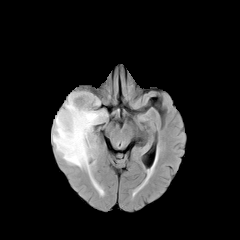
FLAIR MRI.
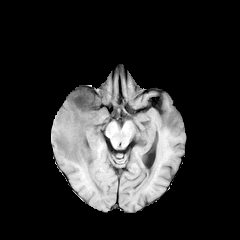
T1-weighted MR.
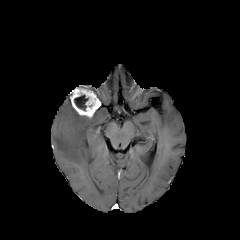
Post-contrast T1-weighted magnetic resonance of the same slice.
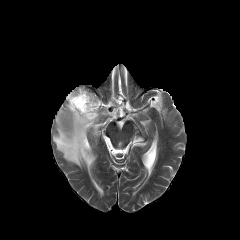
Same slice, T2-weighted magnetic resonance.
Brain, Axial view, 240x240 px
{"necrotic_tumor_core": ["[x1=74, y1=95, x2=88, y2=110]"], "peritumoral_edema": ["[x1=52, y1=96, x2=107, y2=177]"], "enhancing_tumor": ["[x1=69, y1=87, x2=100, y2=118]"]}